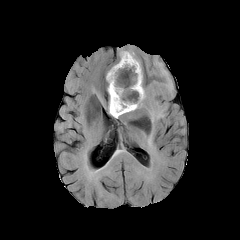
FLAIR MRI.
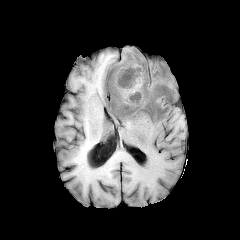
T1-weighted MR image.
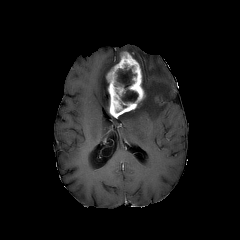
Same slice, post-contrast T1-weighted MRI.
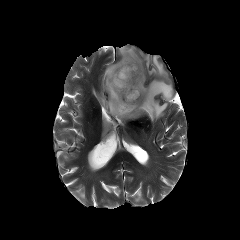
T2-weighted magnetic resonance.
Axial slice; Image size 240x240
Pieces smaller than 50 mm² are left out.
enhancing tumor: l=106, t=51, r=145, b=118 | necrotic tumor core: l=122, t=69, r=134, b=84; l=121, t=89, r=137, b=102 | peritumoral edema: l=118, t=47, r=174, b=148; l=97, t=94, r=108, b=112